FLAIR MR image.
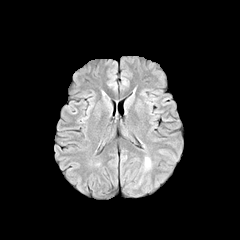
T1-weighted MRI.
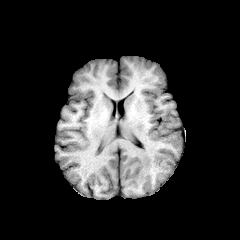
Post-contrast T1-weighted MR image.
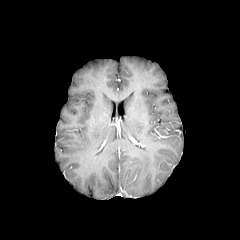
T2-weighted MR.
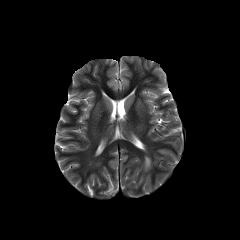
Brain; Axial plane
The peritumoral edema is bounded by {"x1": 145, "y1": 157, "x2": 150, "y2": 169}.